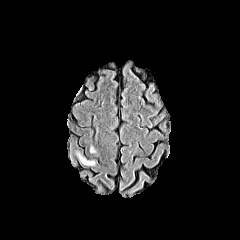
FLAIR magnetic resonance.
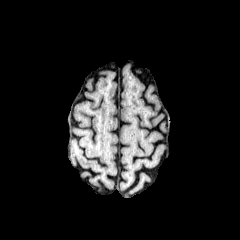
Same slice, T1-weighted magnetic resonance.
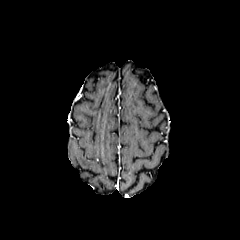
Post-contrast T1-weighted MRI of the same slice.
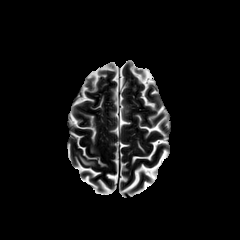
T2-weighted magnetic resonance.
Brain; Axial slice
2 peritumoral edema regions are located at box=[74, 150, 95, 165]; box=[89, 145, 96, 154].